Axial plane | Image covers 240 mm x 240 mm | Slice 65/155
FLAIR magnetic resonance.
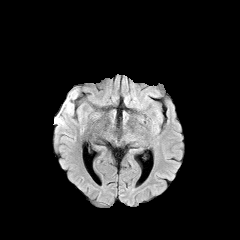
T1-weighted MRI.
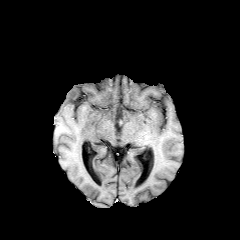
Post-contrast T1-weighted MR image.
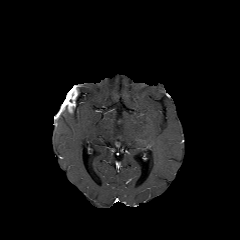
T2-weighted MR image.
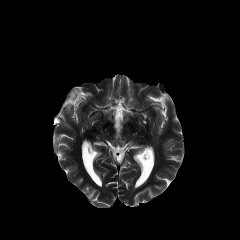
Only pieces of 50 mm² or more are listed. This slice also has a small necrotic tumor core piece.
The largest peritumoral edema region is located at (56,106,73,126). The enhancing tumor is located at (54,87,78,122).